FLAIR magnetic resonance.
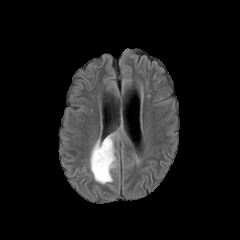
T1-weighted MRI.
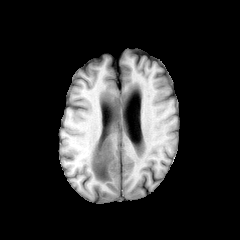
Post-contrast T1-weighted MRI.
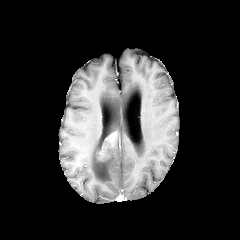
T2-weighted MR image.
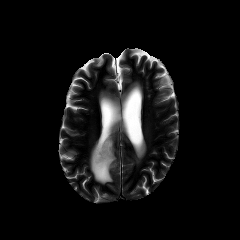
Axial slice
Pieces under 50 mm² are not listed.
Annotated regions:
- enhancing tumor: region(99, 134, 114, 159)
- peritumoral edema: region(90, 138, 116, 184)